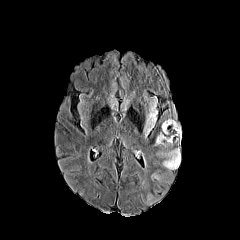
FLAIR MR image.
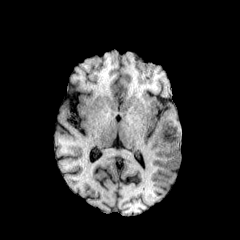
Same slice, T1-weighted MR image.
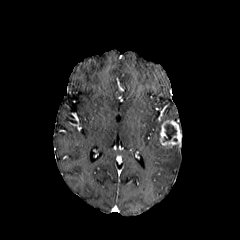
Post-contrast T1-weighted MR image.
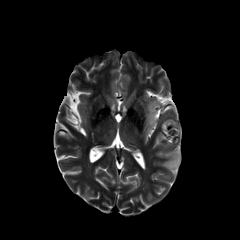
T2-weighted MRI.
240x240 px. Head.
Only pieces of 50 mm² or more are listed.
enhancing tumor: bounding box 159, 120, 181, 147
necrotic tumor core: bounding box 164, 124, 176, 140
peritumoral edema: bounding box 157, 148, 180, 170; 144, 102, 156, 136